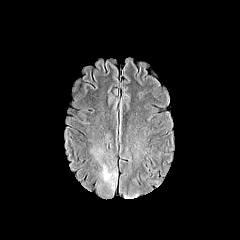
FLAIR magnetic resonance.
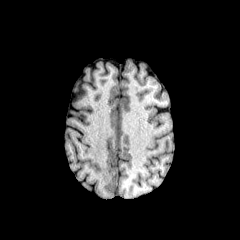
T1-weighted magnetic resonance of the same slice.
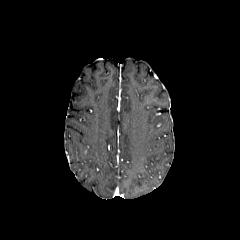
Post-contrast T1-weighted MR.
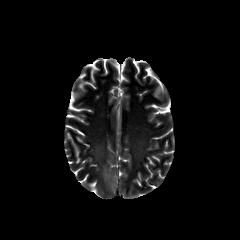
Same slice, T2-weighted MR image.
240x240. Head.
The peritumoral edema is bounded by left=90, top=133, right=117, bottom=191.